FLAIR MR.
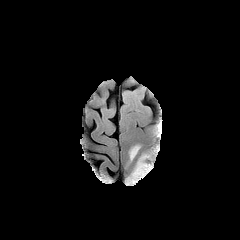
T1-weighted MR.
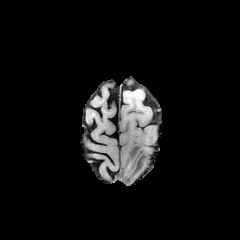
Post-contrast T1-weighted magnetic resonance.
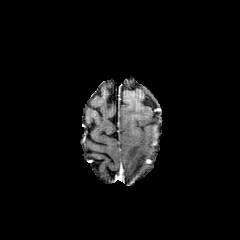
T2-weighted magnetic resonance.
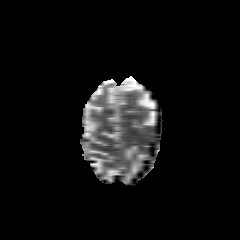
Axial plane. Image size 240x240.
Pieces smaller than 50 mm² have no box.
peritumoral edema: 125:154:148:184, 128:145:140:161